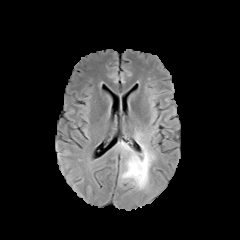
FLAIR MRI.
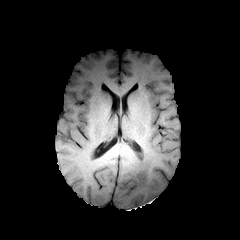
Same slice, T1-weighted magnetic resonance.
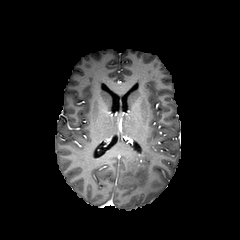
Same slice, post-contrast T1-weighted MRI.
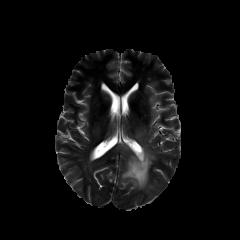
T2-weighted MR image.
Brain
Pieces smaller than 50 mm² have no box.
Annotated regions:
- peritumoral edema: bbox=[120, 142, 154, 189]